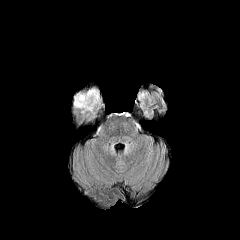
FLAIR MRI.
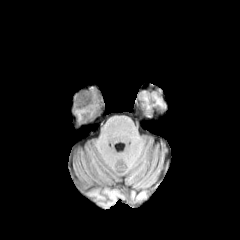
Same slice, T1-weighted magnetic resonance.
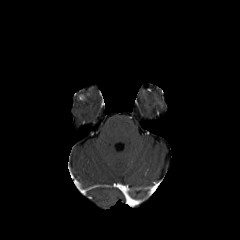
Same slice, post-contrast T1-weighted MR.
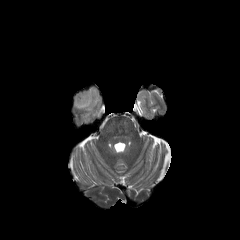
T2-weighted MR image.
240x240 px, Axial slice
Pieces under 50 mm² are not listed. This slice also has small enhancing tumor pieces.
Annotated regions:
* peritumoral edema: (x1=73, y1=86, x2=101, y2=109)